FLAIR MRI.
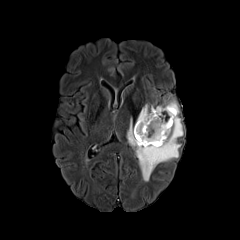
T1-weighted MR image.
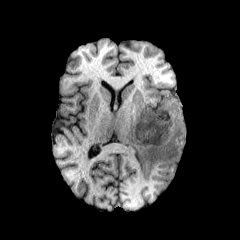
Post-contrast T1-weighted magnetic resonance.
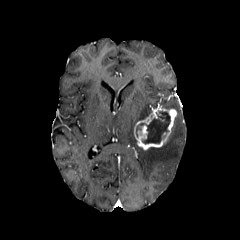
T2-weighted MRI.
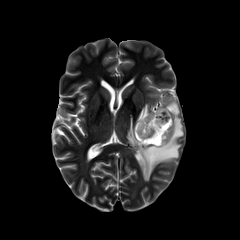
Image size 240x240; Head
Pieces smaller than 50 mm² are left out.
enhancing_tumor:
  - 134,106,176,150
necrotic_tumor_core:
  - 142,111,170,143
peritumoral_edema:
  - 137,104,151,121
  - 126,99,183,181